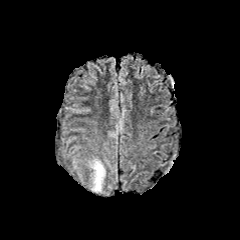
FLAIR MR.
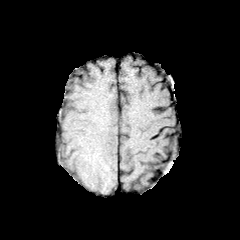
T1-weighted magnetic resonance.
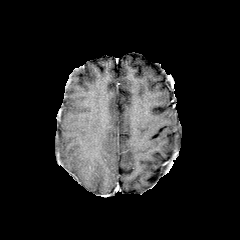
Post-contrast T1-weighted MR image.
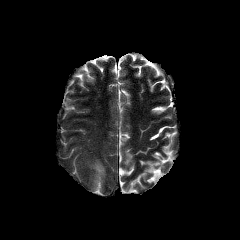
Same slice, T2-weighted magnetic resonance.
240x240. Axial view. Brain.
{
  "peritumoral_edema": [
    "[x1=93, y1=161, x2=104, y2=191]"
  ]
}